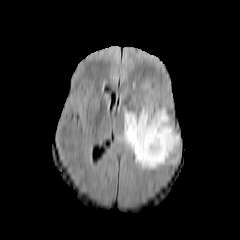
FLAIR MRI.
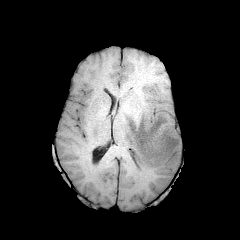
T1-weighted MR image of the same slice.
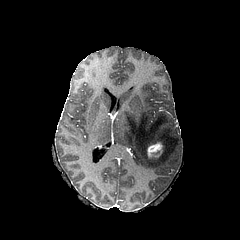
Post-contrast T1-weighted MR.
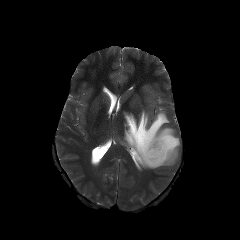
T2-weighted MR of the same slice.
240x240; Brain
The enhancing tumor is bounded by (left=147, top=141, right=163, bottom=158). The peritumoral edema lies within (left=121, top=107, right=179, bottom=169).